Axial view; 240x240 px; Image width 240 mm, 1.00 mm slice spacing
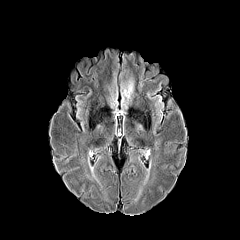
FLAIR MRI.
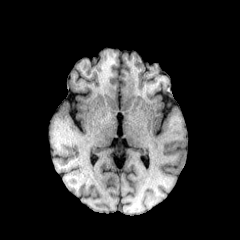
T1-weighted MR image of the same slice.
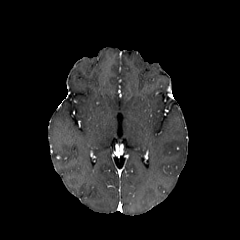
Post-contrast T1-weighted MRI of the same slice.
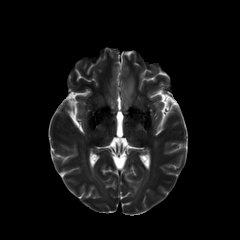
T2-weighted magnetic resonance.
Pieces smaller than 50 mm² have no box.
The largest peritumoral edema region is bounded by [121, 78, 134, 107].